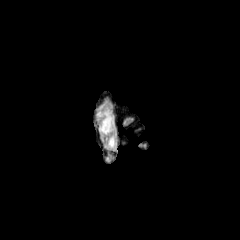
FLAIR MR.
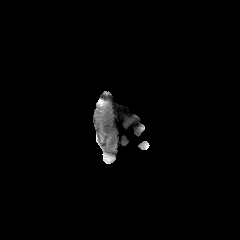
T1-weighted MR image of the same slice.
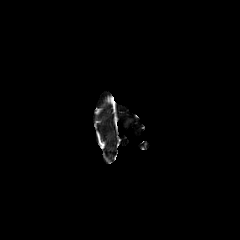
Post-contrast T1-weighted MRI of the same slice.
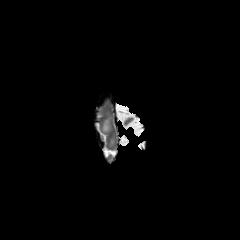
T2-weighted MRI of the same slice.
Brain. 240x240.
2 peritumoral edema regions are bounded by x1=98, y1=105, x2=113, y2=133; x1=109, y1=136, x2=115, y2=147.